FLAIR magnetic resonance.
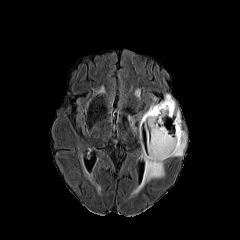
T1-weighted MRI.
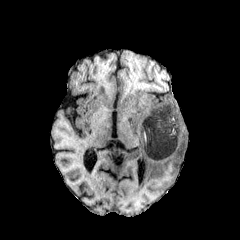
Post-contrast T1-weighted magnetic resonance.
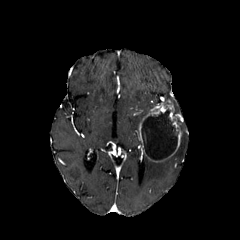
T2-weighted magnetic resonance.
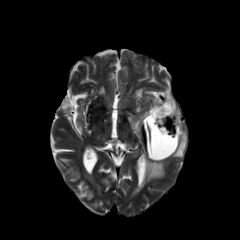
240x240 px | Axial plane | Brain
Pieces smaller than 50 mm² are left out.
necrotic tumor core: 141, 109, 177, 159
enhancing tumor: 138, 99, 182, 162
peritumoral edema: 162, 94, 179, 112; 139, 94, 158, 121; 172, 122, 186, 156; 137, 155, 164, 191